Brain | Slice 114 of 155 | Axial slice
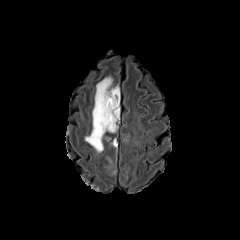
FLAIR MR image.
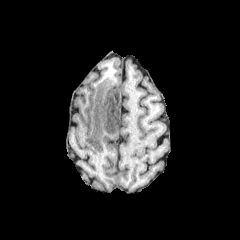
T1-weighted MRI.
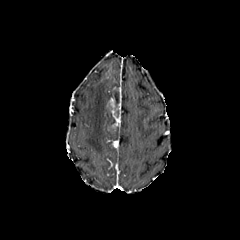
Post-contrast T1-weighted MR of the same slice.
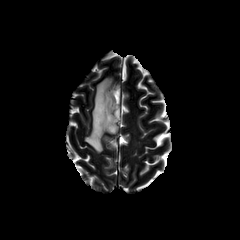
T2-weighted MRI of the same slice.
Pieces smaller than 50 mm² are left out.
enhancing tumor: bounding box [106, 97, 120, 130]
necrotic tumor core: bounding box [113, 89, 119, 104], [105, 108, 115, 125]
peritumoral edema: bounding box [85, 77, 115, 152]